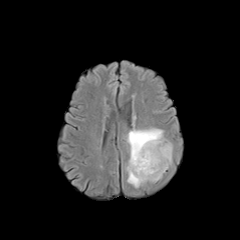
FLAIR MR.
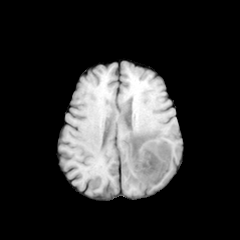
Same slice, T1-weighted MRI.
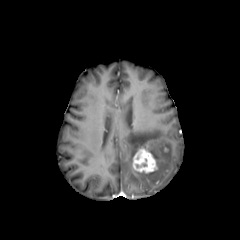
Post-contrast T1-weighted MR image.
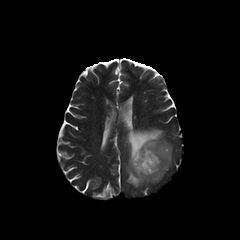
Same slice, T2-weighted MR image.
Head
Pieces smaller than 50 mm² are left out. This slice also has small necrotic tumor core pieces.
Segmented structures:
- peritumoral edema: 126, 128, 172, 187
- enhancing tumor: 132, 139, 161, 173